FLAIR MR.
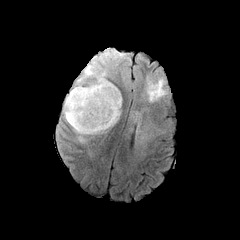
T1-weighted MR.
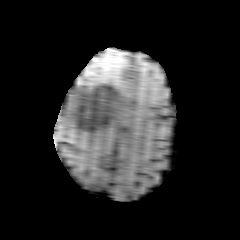
Post-contrast T1-weighted MR image.
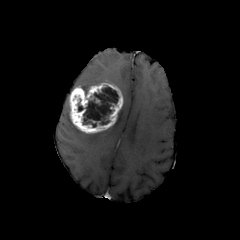
T2-weighted MRI.
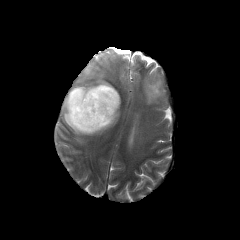
Axial slice; Brain
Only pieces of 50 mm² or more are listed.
The enhancing tumor is bounded by bbox=[69, 81, 123, 133]. The largest necrotic tumor core region lies within bbox=[84, 87, 118, 123]. The 2 largest peritumoral edema regions are bounded by bbox=[75, 61, 105, 92]; bbox=[62, 94, 104, 141].